FLAIR MRI.
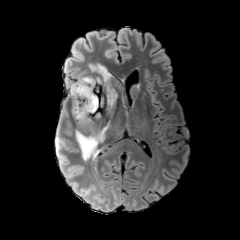
T1-weighted MRI.
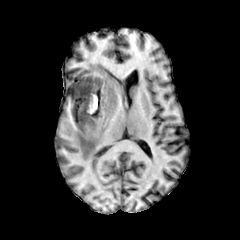
Post-contrast T1-weighted MRI.
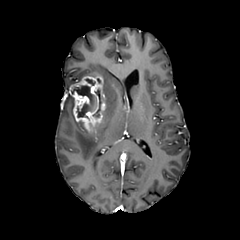
T2-weighted MR image.
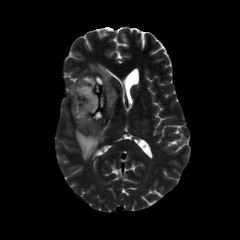
240x240 px; Axial plane
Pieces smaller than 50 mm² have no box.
necrotic tumor core: left=71, top=85, right=96, bottom=117 | enhancing tumor: left=69, top=74, right=106, bottom=132 | peritumoral edema: left=89, top=64, right=117, bottom=118; left=75, top=121, right=110, bottom=160